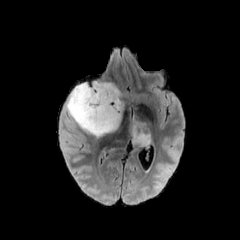
FLAIR MR.
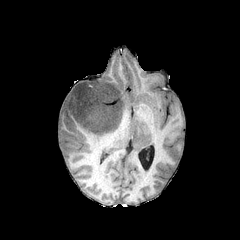
Same slice, T1-weighted MR.
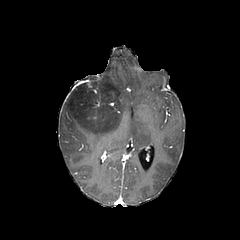
Same slice, post-contrast T1-weighted MRI.
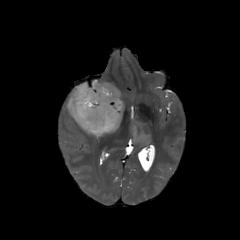
T2-weighted MRI of the same slice.
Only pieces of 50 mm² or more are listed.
<segmentation>
  <peritumoral_edema>[125,113,150,149], [66,82,125,138]</peritumoral_edema>
</segmentation>